FLAIR MR image.
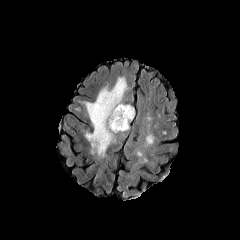
T1-weighted MRI.
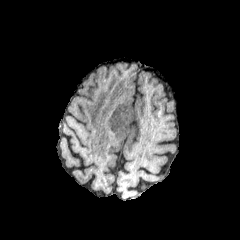
Post-contrast T1-weighted magnetic resonance.
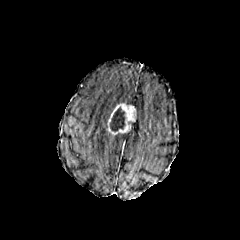
T2-weighted MR image.
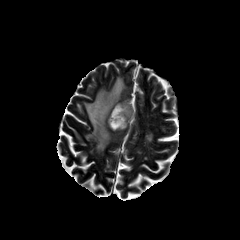
Axial view, Head
enhancing tumor — box=[107, 103, 135, 134]
peritumoral edema — box=[83, 77, 127, 156]
necrotic tumor core — box=[110, 107, 125, 131]